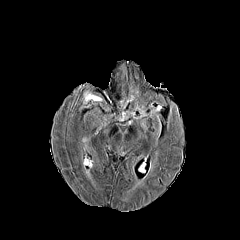
FLAIR MR.
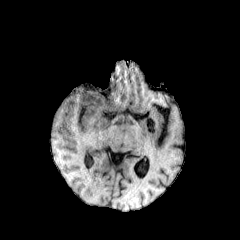
T1-weighted magnetic resonance.
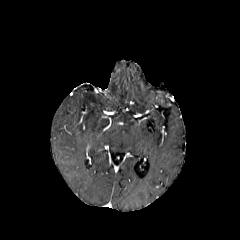
Post-contrast T1-weighted MRI of the same slice.
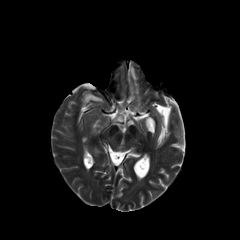
Same slice, T2-weighted MRI.
Axial plane
The peritumoral edema is at (84,93,102,102).